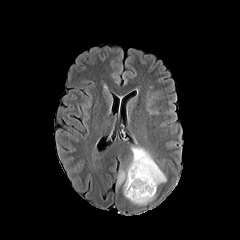
FLAIR magnetic resonance.
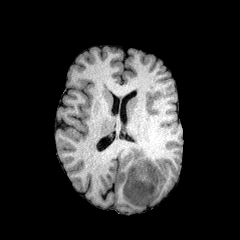
T1-weighted MR of the same slice.
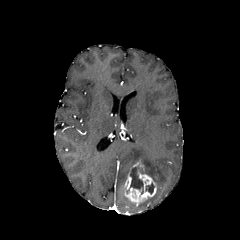
Post-contrast T1-weighted magnetic resonance.
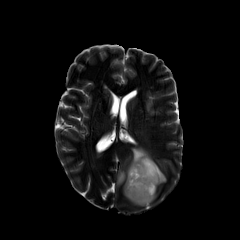
T2-weighted MR image.
240x240, Head
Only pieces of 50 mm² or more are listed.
{"peritumoral_edema": ["[117,147,166,185]"], "enhancing_tumor": ["[123,161,156,204]"], "necrotic_tumor_core": ["[130,167,146,194]", "[146,183,154,194]"]}